240x240 px | Head
FLAIR MRI.
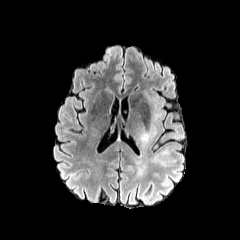
T1-weighted magnetic resonance.
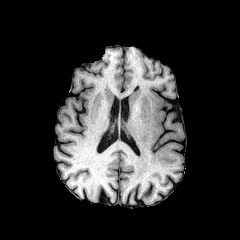
Post-contrast T1-weighted MRI.
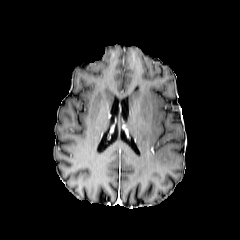
T2-weighted MRI.
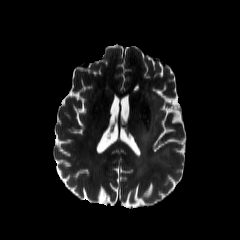
peritumoral edema: bbox(170, 103, 179, 118); bbox(139, 93, 166, 145)